Image width 240 mm, 1.00 mm slice spacing, Slice index 97, Axial slice
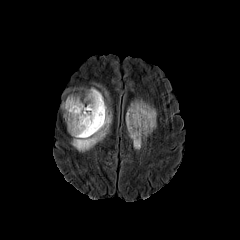
FLAIR MR.
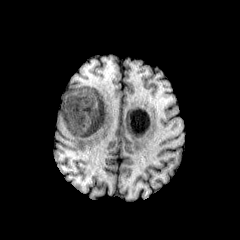
Same slice, T1-weighted magnetic resonance.
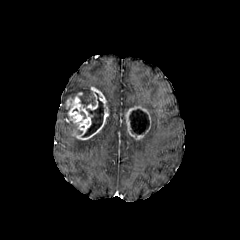
Same slice, post-contrast T1-weighted MR image.
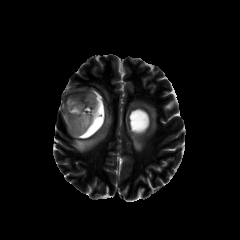
T2-weighted MRI.
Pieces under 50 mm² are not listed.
The 3 largest necrotic tumor core regions are bounded by bbox=[129, 109, 149, 134]; bbox=[80, 90, 91, 106]; bbox=[82, 93, 103, 137]. The 2 largest peritumoral edema regions appear at bbox=[129, 100, 156, 150]; bbox=[71, 109, 111, 152]. 2 enhancing tumor regions are located at bbox=[125, 105, 151, 140]; bbox=[65, 87, 108, 140].